FLAIR MR image.
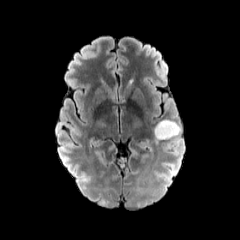
T1-weighted MRI.
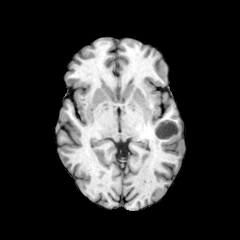
Post-contrast T1-weighted magnetic resonance.
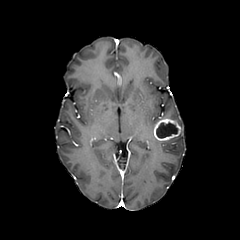
T2-weighted MRI.
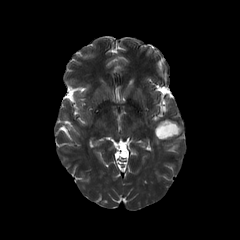
Axial plane
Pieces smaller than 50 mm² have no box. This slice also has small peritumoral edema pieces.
enhancing_tumor:
  - (154,118,181,140)
necrotic_tumor_core:
  - (156,122,177,138)